Image covers 240 mm x 240 mm.
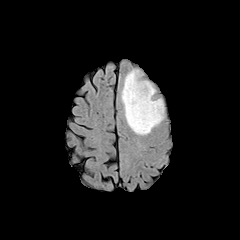
FLAIR magnetic resonance.
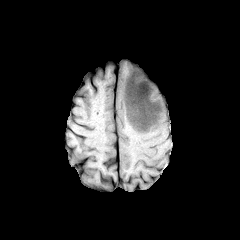
T1-weighted MR.
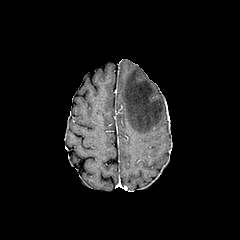
Post-contrast T1-weighted MRI.
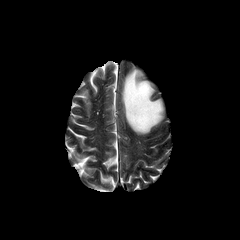
T2-weighted magnetic resonance.
peritumoral_edema:
  - [x1=121, y1=69, x2=163, y2=134]